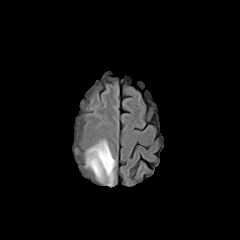
FLAIR magnetic resonance.
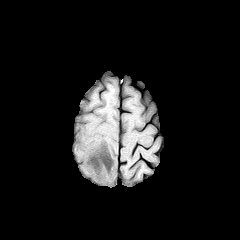
Same slice, T1-weighted MR image.
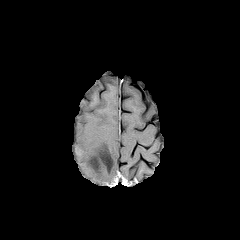
Same slice, post-contrast T1-weighted MR.
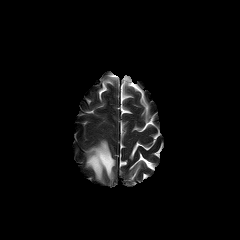
Same slice, T2-weighted MR image.
Axial slice. Image size 240x240. Head.
peritumoral edema = [86,140,115,183]